FLAIR MR image.
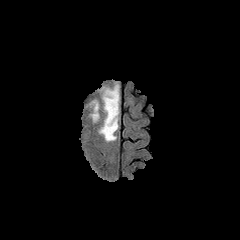
T1-weighted MRI.
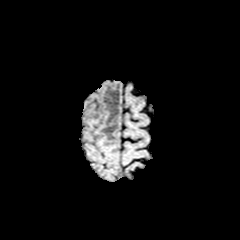
Post-contrast T1-weighted MR image.
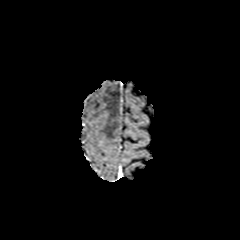
T2-weighted MR image.
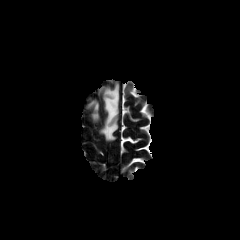
Head; 240x240 px
peritumoral_edema:
  - 90, 101, 99, 121
  - 99, 84, 119, 141